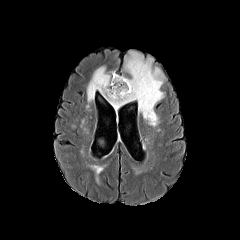
FLAIR magnetic resonance.
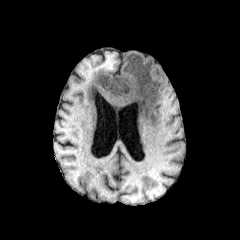
T1-weighted MR image.
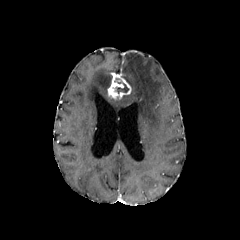
Post-contrast T1-weighted MRI.
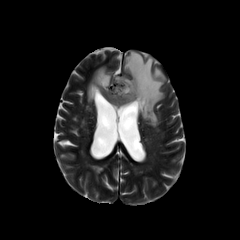
T2-weighted MR image.
Brain
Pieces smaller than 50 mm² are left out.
enhancing tumor: 107 73 131 99 | necrotic tumor core: 116 82 128 93 | peritumoral edema: 87 52 164 126